Slice index 107; 240x240
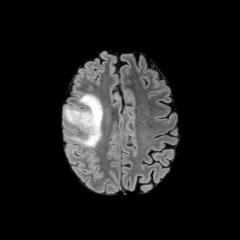
FLAIR magnetic resonance.
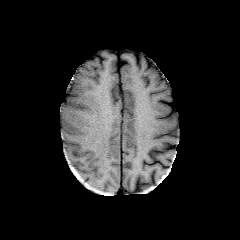
Same slice, T1-weighted MRI.
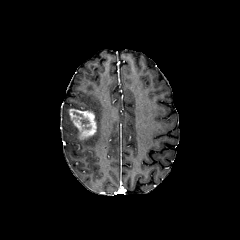
Post-contrast T1-weighted MR of the same slice.
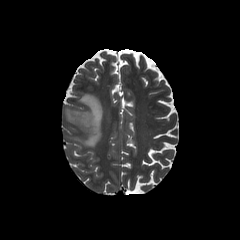
T2-weighted MRI.
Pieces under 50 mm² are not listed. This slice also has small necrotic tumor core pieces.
The 2 largest peritumoral edema regions are located at 64,105,80,125; 65,93,102,152. The enhancing tumor appears at 68,108,97,140.